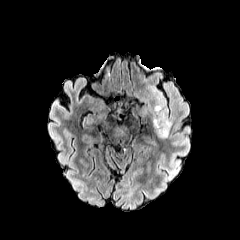
FLAIR magnetic resonance.
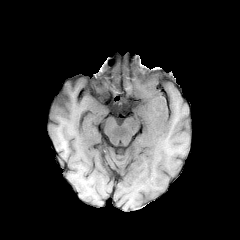
T1-weighted magnetic resonance of the same slice.
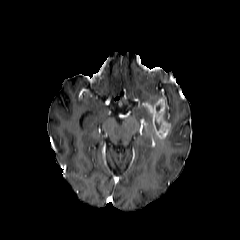
Post-contrast T1-weighted MR.
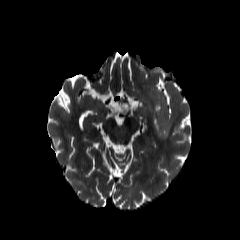
T2-weighted MR.
Brain. Axial slice.
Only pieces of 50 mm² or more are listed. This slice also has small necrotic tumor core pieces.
enhancing tumor: 143,96,170,139 | peritumoral edema: 167,108,173,124; 145,86,162,101